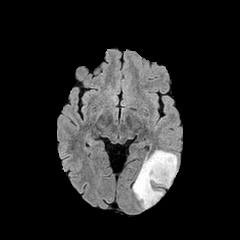
FLAIR MR image.
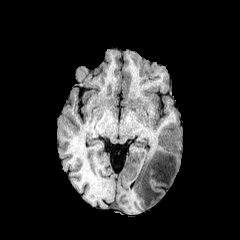
T1-weighted magnetic resonance of the same slice.
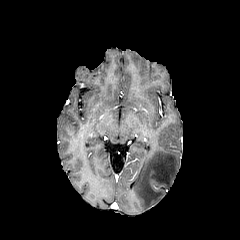
Post-contrast T1-weighted MR image of the same slice.
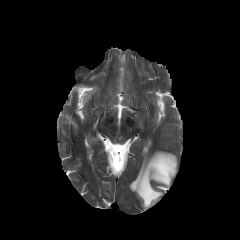
T2-weighted MRI of the same slice.
Image size 240x240. Axial plane.
Segmented structures:
* peritumoral edema: l=133, t=150, r=177, b=208